FLAIR MR.
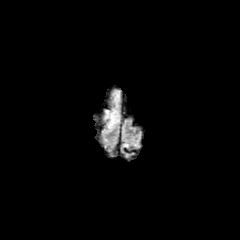
T1-weighted MR image.
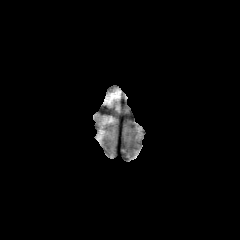
Post-contrast T1-weighted magnetic resonance.
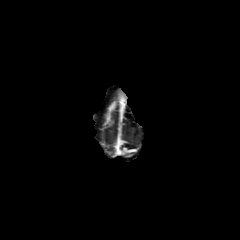
T2-weighted MRI.
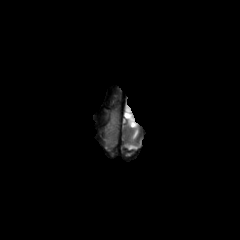
Head, Image size 240x240
enhancing tumor at left=103, top=107, right=113, bottom=128
peritumoral edema at left=105, top=105, right=116, bottom=131